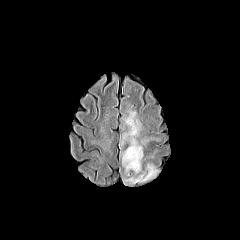
FLAIR MR image.
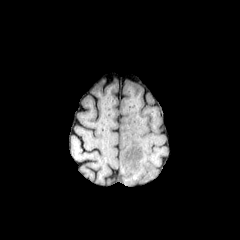
T1-weighted MRI of the same slice.
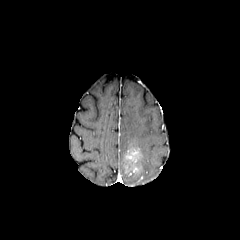
Post-contrast T1-weighted MRI of the same slice.
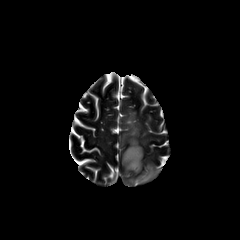
T2-weighted MR image of the same slice.
Image size 240x240
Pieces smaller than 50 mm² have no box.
Findings:
- enhancing tumor: [x1=124, y1=146, x2=143, y2=178]
- peritumoral edema: [x1=121, y1=108, x2=142, y2=154], [x1=147, y1=147, x2=158, y2=158], [x1=139, y1=136, x2=159, y2=147], [x1=125, y1=161, x2=158, y2=184]